FLAIR MR.
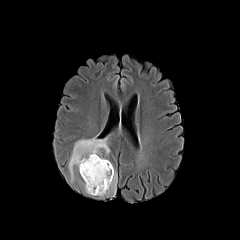
T1-weighted MR image.
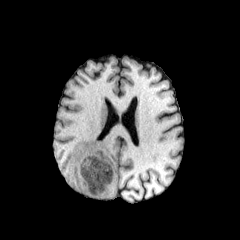
Post-contrast T1-weighted MRI.
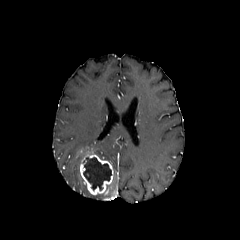
T2-weighted magnetic resonance.
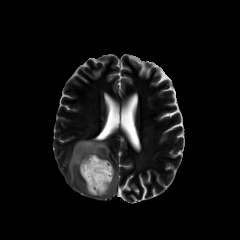
Axial slice, Brain, 240x240 px
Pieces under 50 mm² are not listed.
enhancing tumor at <box>80,154,115,194</box>
necrotic tumor core at <box>83,157,111,190</box>
peritumoral edema at <box>107,169,117,196</box>, <box>68,136,110,182</box>